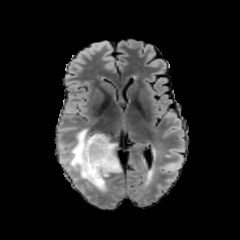
FLAIR MRI.
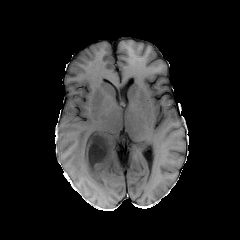
T1-weighted MRI of the same slice.
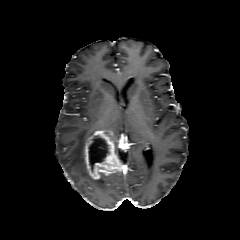
Post-contrast T1-weighted MR image.
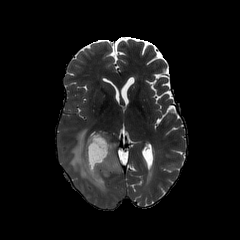
T2-weighted magnetic resonance.
Axial plane | Brain | Image size 240x240
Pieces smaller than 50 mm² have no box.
- necrotic tumor core: 89 136 108 171
- peritumoral edema: 69 129 108 190
- enhancing tumor: 84 130 123 179